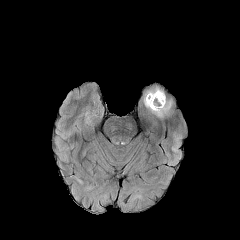
FLAIR magnetic resonance.
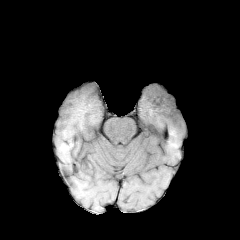
T1-weighted MR image.
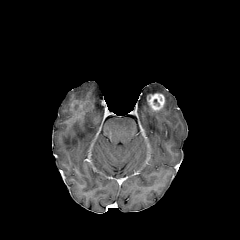
Same slice, post-contrast T1-weighted MR.
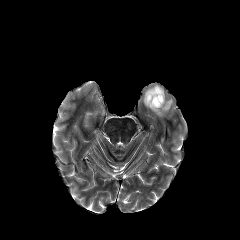
T2-weighted MR image of the same slice.
Brain. 240x240 px.
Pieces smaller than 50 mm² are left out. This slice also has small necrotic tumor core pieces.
Annotated regions:
• peritumoral edema: [x1=143, y1=86, x2=172, y2=117]
• enhancing tumor: [x1=147, y1=93, x2=164, y2=110]